Axial view; Head
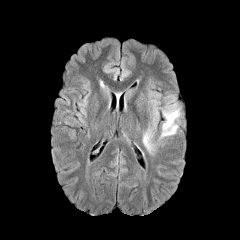
FLAIR MR.
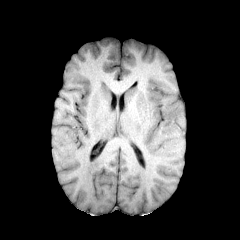
T1-weighted MRI of the same slice.
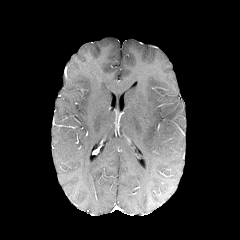
Same slice, post-contrast T1-weighted MRI.
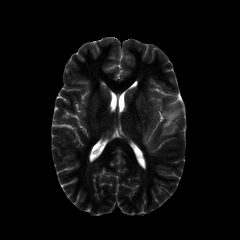
T2-weighted MRI.
peritumoral edema: l=143, t=128, r=153, b=152; l=160, t=103, r=180, b=138